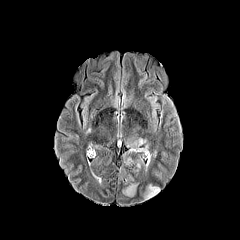
FLAIR MR image.
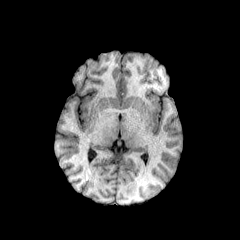
T1-weighted MR.
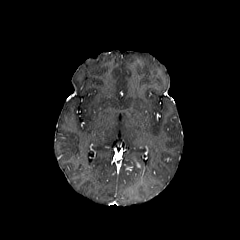
Same slice, post-contrast T1-weighted MRI.
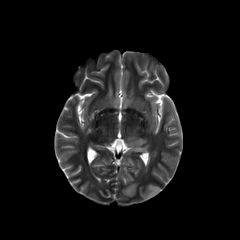
T2-weighted MR.
Axial slice
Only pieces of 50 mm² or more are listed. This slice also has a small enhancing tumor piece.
peritumoral edema: left=123, top=184, right=136, bottom=196; left=144, top=185, right=159, bottom=199; left=125, top=138, right=145, bottom=151